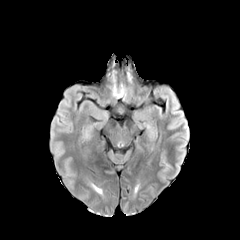
FLAIR MR image.
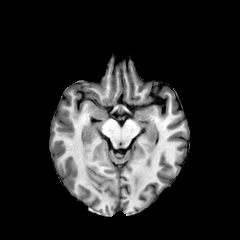
Same slice, T1-weighted MR.
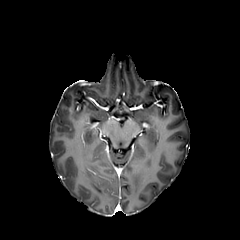
Post-contrast T1-weighted magnetic resonance of the same slice.
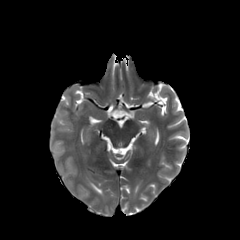
Same slice, T2-weighted MRI.
Brain, Axial plane
peritumoral edema — (91,183,102,194)